FLAIR MR.
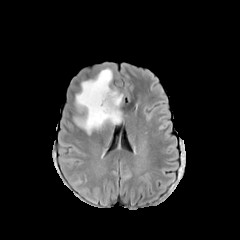
T1-weighted MR.
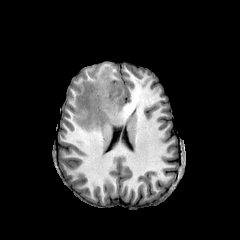
Post-contrast T1-weighted magnetic resonance.
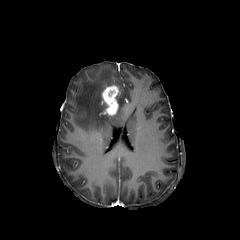
T2-weighted magnetic resonance.
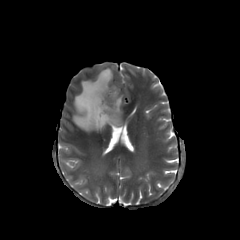
Head
The enhancing tumor is located at {"x1": 101, "y1": 85, "x2": 120, "y2": 115}. The peritumoral edema is located at {"x1": 74, "y1": 68, "x2": 123, "y2": 132}.